Image width 240 mm, 1.00 mm slice spacing; Slice 109 of 155; Axial view
FLAIR MRI.
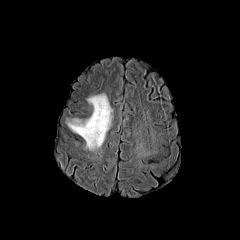
T1-weighted magnetic resonance.
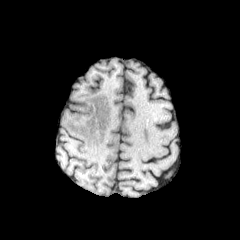
Post-contrast T1-weighted MR image.
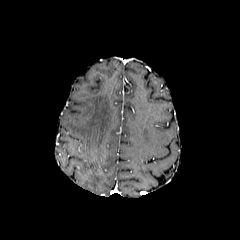
T2-weighted MR.
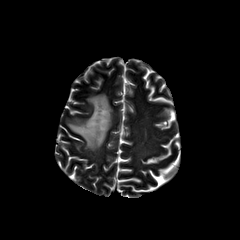
<segmentation>
  <peritumoral_edema>[x1=67, y1=93, x2=112, y2=150]</peritumoral_edema>
</segmentation>